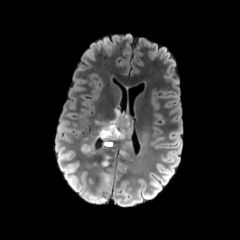
FLAIR MR.
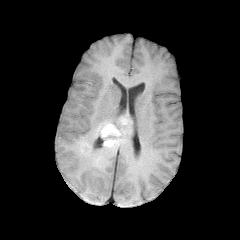
T1-weighted MRI of the same slice.
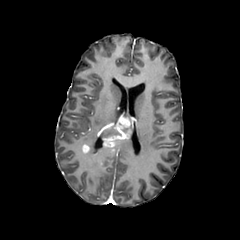
Post-contrast T1-weighted MRI of the same slice.
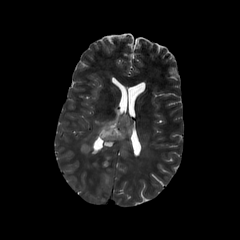
T2-weighted MRI.
Axial view. Head.
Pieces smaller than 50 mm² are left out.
necrotic tumor core — [100, 126, 121, 138]
peritumoral edema — [104, 174, 111, 186], [81, 132, 110, 167], [111, 133, 148, 168], [95, 110, 120, 131]
enhancing tumor — [82, 145, 89, 152], [97, 115, 131, 147]